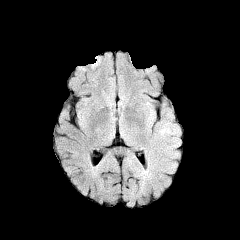
FLAIR MR.
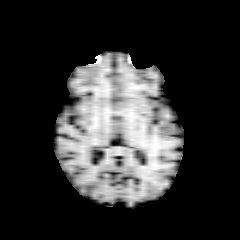
T1-weighted magnetic resonance of the same slice.
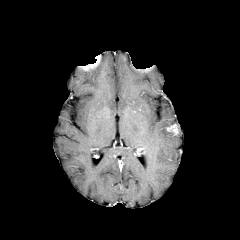
Post-contrast T1-weighted MR image.
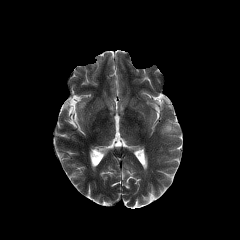
T2-weighted MR.
Brain | 240x240
peritumoral edema — l=160, t=123, r=171, b=134
enhancing tumor — l=166, t=123, r=179, b=134